Slice 60 of 155, Axial slice
FLAIR MR.
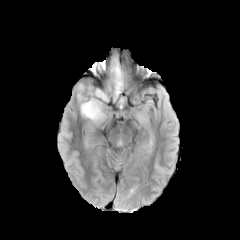
T1-weighted magnetic resonance.
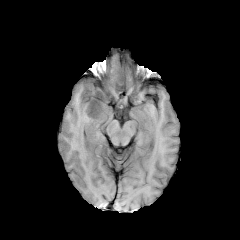
Post-contrast T1-weighted MRI.
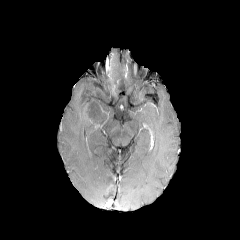
T2-weighted MR image.
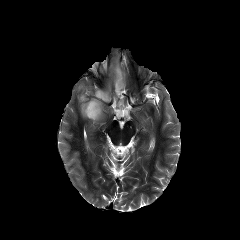
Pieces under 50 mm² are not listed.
peritumoral edema: l=77, t=84, r=108, b=122; l=111, t=59, r=124, b=101